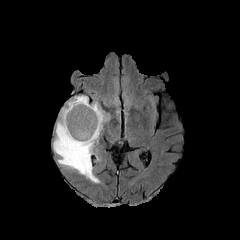
FLAIR MR.
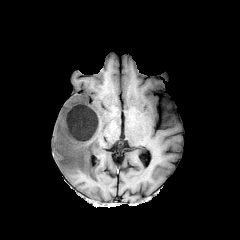
T1-weighted MR image.
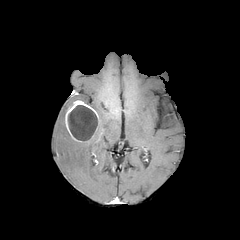
Same slice, post-contrast T1-weighted MR.
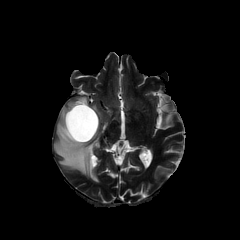
T2-weighted magnetic resonance of the same slice.
Head.
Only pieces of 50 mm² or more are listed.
The largest peritumoral edema region is at 53,95,107,182. The necrotic tumor core is bounded by 68,105,97,141. The enhancing tumor is at 65,100,99,142.